Image size 240x240. Slice 45 of 155. Head.
FLAIR magnetic resonance.
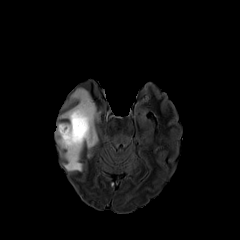
T1-weighted magnetic resonance.
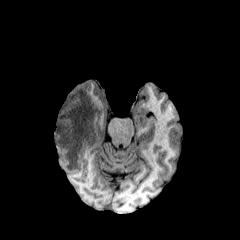
Post-contrast T1-weighted MR.
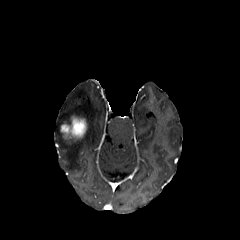
T2-weighted magnetic resonance.
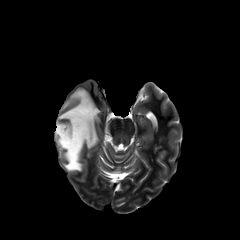
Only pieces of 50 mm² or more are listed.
Segmented structures:
• enhancing tumor: region(60, 116, 86, 139)
• peritumoral edema: region(55, 88, 99, 171)